FLAIR magnetic resonance.
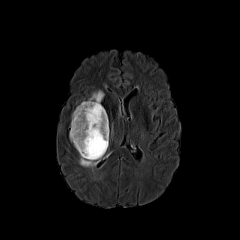
T1-weighted magnetic resonance.
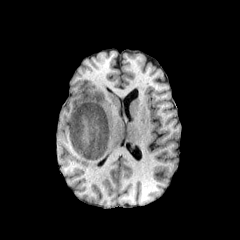
Post-contrast T1-weighted MR image.
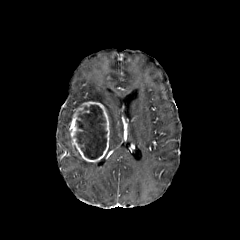
T2-weighted MR.
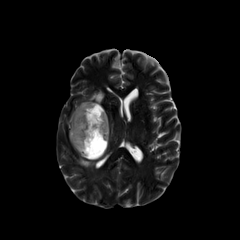
240x240, Head
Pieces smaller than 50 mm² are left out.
peritumoral edema: bounding box left=79, top=157, right=97, bottom=168; left=88, top=90, right=104, bottom=102
enhancing tumor: bounding box left=69, top=101, right=109, bottom=162
necrotic tumor core: bounding box left=75, top=105, right=106, bottom=159